Image size 240x240. Axial slice. Slice 101/155.
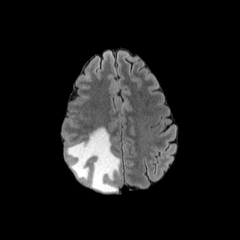
FLAIR MR image.
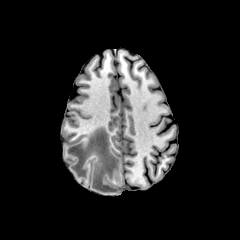
Same slice, T1-weighted MRI.
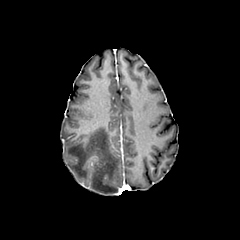
Same slice, post-contrast T1-weighted magnetic resonance.
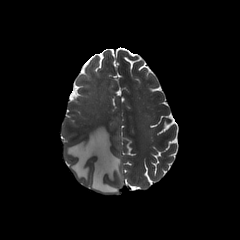
Same slice, T2-weighted MRI.
Annotated regions:
- peritumoral edema: (66,127,120,192)